Image covers 240 mm x 240 mm.
FLAIR MRI.
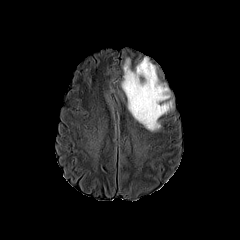
T1-weighted magnetic resonance.
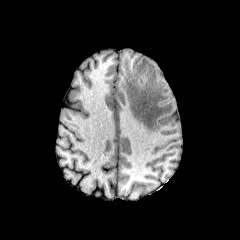
Post-contrast T1-weighted MR.
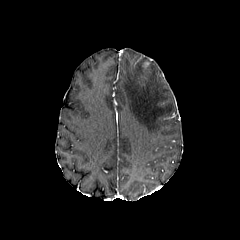
T2-weighted MR image.
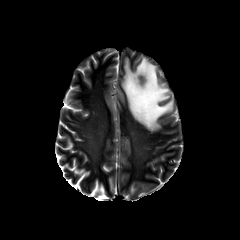
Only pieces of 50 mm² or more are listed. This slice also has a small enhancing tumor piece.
<segmentation>
  <peritumoral_edema>x1=121 y1=58 x2=172 y2=131</peritumoral_edema>
</segmentation>